Slice 105/155, Brain, 240x240
FLAIR MRI.
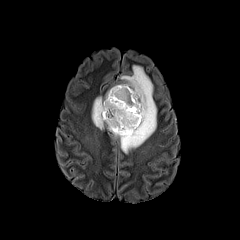
T1-weighted magnetic resonance.
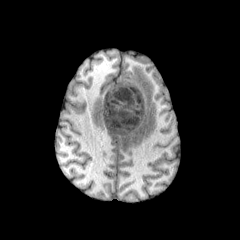
Post-contrast T1-weighted MR.
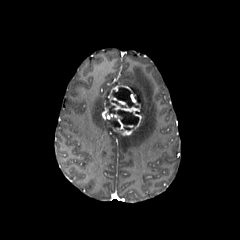
T2-weighted magnetic resonance.
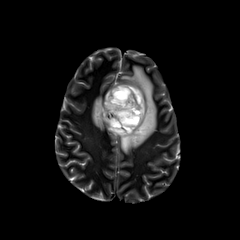
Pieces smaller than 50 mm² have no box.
necrotic tumor core at <box>106,98,138,126</box>, <box>111,87,138,107</box>, <box>106,117,120,127</box>
peritumoral edema at <box>92,65,156,153</box>
enhancing tumor at <box>102,84,141,135</box>